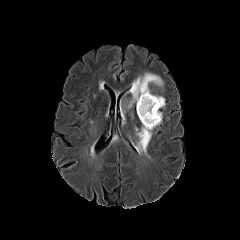
FLAIR MRI.
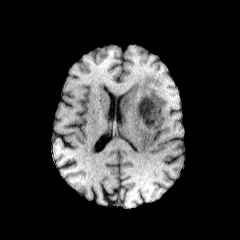
T1-weighted MRI.
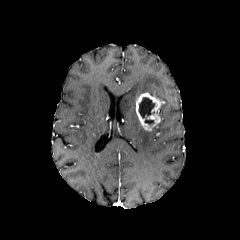
Post-contrast T1-weighted magnetic resonance.
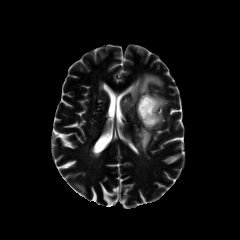
T2-weighted MRI of the same slice.
Brain.
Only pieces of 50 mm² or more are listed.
necrotic tumor core: box=[139, 97, 154, 124] | peritumoral edema: box=[135, 127, 151, 155]; box=[128, 73, 163, 108] | enhancing tumor: box=[136, 92, 164, 131]